FLAIR MRI.
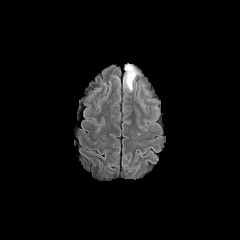
T1-weighted MRI.
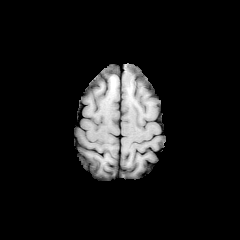
Post-contrast T1-weighted MR image.
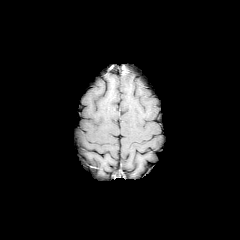
T2-weighted MR.
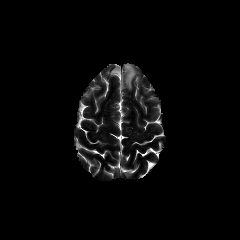
<segmentation>
  <peritumoral_edema>x1=123 y1=64 x2=138 y2=90</peritumoral_edema>
</segmentation>